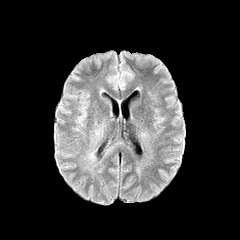
FLAIR MR.
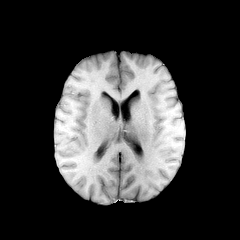
T1-weighted magnetic resonance.
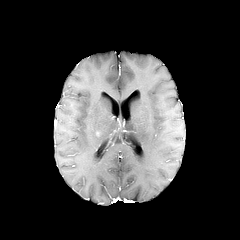
Post-contrast T1-weighted MR.
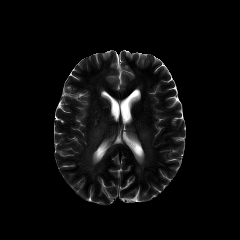
T2-weighted MR.
Brain.
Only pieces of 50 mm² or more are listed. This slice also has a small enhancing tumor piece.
{"peritumoral_edema": ["<bbox>95, 127, 102, 137</bbox>"]}